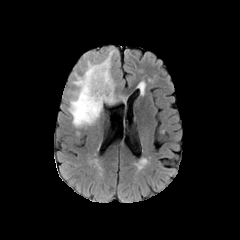
FLAIR MR image.
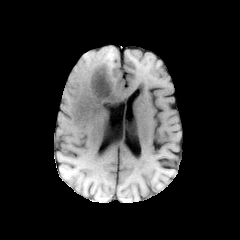
Same slice, T1-weighted MRI.
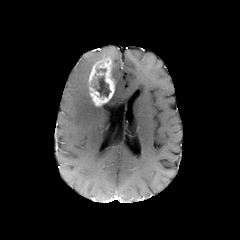
Post-contrast T1-weighted MR image of the same slice.
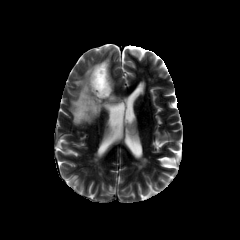
T2-weighted MRI of the same slice.
Axial plane, Brain
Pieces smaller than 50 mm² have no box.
<segmentation>
  <peritumoral_edema>(x1=106, y1=92, x2=116, y2=104), (x1=68, y1=58, x2=102, y2=127)</peritumoral_edema>
  <necrotic_tumor_core>(x1=95, y1=76, x2=110, y2=96)</necrotic_tumor_core>
  <enhancing_tumor>(x1=88, y1=59, x2=114, y2=106)</enhancing_tumor>
</segmentation>